FLAIR MR.
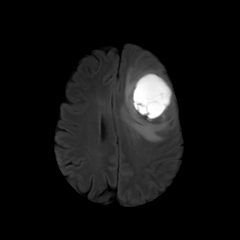
T1-weighted magnetic resonance.
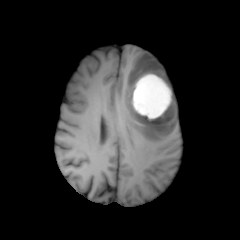
Post-contrast T1-weighted MRI.
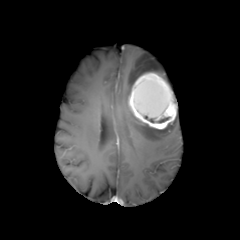
T2-weighted magnetic resonance.
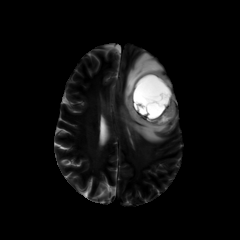
Axial view, Head
peritumoral edema — (121, 53, 176, 142)
necrotic tumor core — (144, 116, 171, 123)
enhancing tumor — (128, 73, 176, 129)